FLAIR MR image.
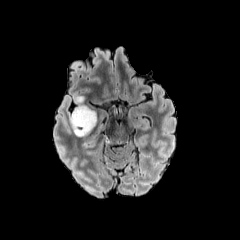
T1-weighted MR image.
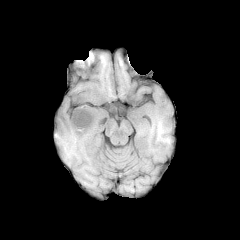
Post-contrast T1-weighted magnetic resonance.
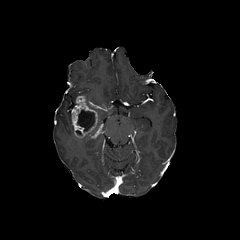
T2-weighted MR.
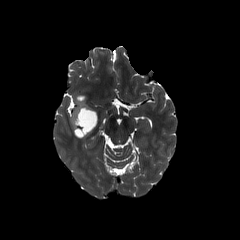
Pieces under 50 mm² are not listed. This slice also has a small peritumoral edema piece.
- enhancing tumor: region(71, 95, 97, 138)
- necrotic tumor core: region(77, 109, 95, 131)